FLAIR MRI.
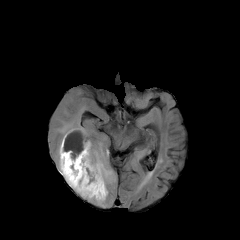
T1-weighted MR.
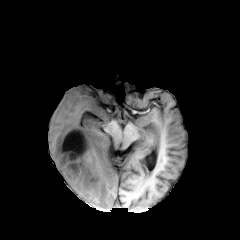
Post-contrast T1-weighted MR image.
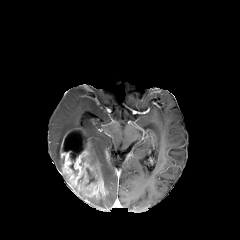
T2-weighted MRI.
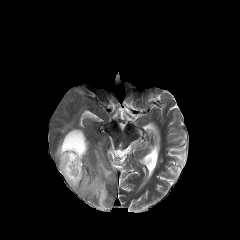
Brain | Axial view | Image size 240x240
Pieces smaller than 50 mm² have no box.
necrotic tumor core: l=62, t=131, r=87, b=161; l=86, t=168, r=96, b=185
peritumoral edema: l=55, t=117, r=89, b=171; l=90, t=138, r=115, b=188; l=87, t=191, r=110, b=207
enhancing tumor: l=60, t=128, r=107, b=199